FLAIR MR.
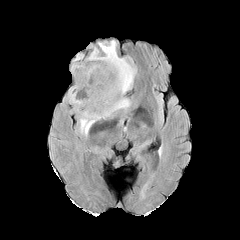
T1-weighted MR.
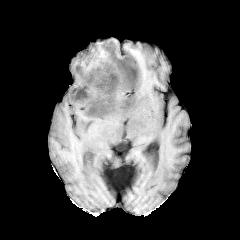
Post-contrast T1-weighted magnetic resonance.
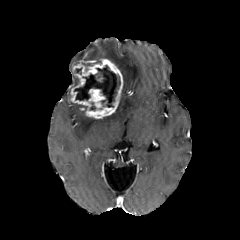
T2-weighted magnetic resonance.
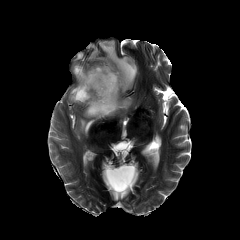
Head. 240x240.
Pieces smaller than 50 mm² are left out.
Annotated regions:
* peritumoral edema: (x1=79, y1=111, x2=100, y2=135), (x1=87, y1=40, x2=137, y2=116)
* necrotic tumor core: (x1=74, y1=66, x2=119, y2=107)
* enhancing tumor: (x1=69, y1=58, x2=123, y2=118)